FLAIR MR.
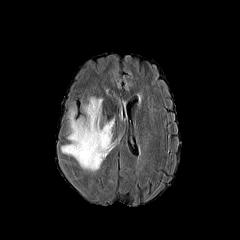
T1-weighted magnetic resonance.
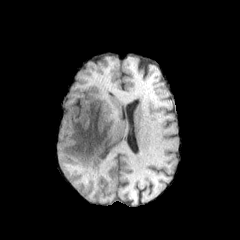
Post-contrast T1-weighted magnetic resonance.
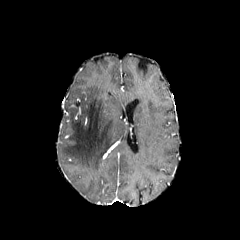
T2-weighted MRI.
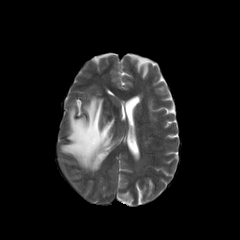
Axial slice
{"peritumoral_edema": ["(x1=61, y1=97, x2=114, y2=171)"]}